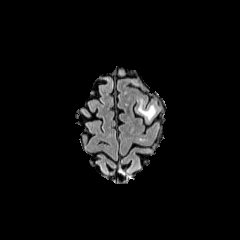
FLAIR magnetic resonance.
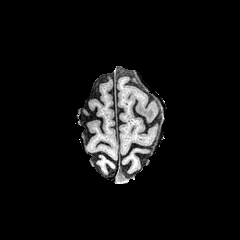
T1-weighted MR.
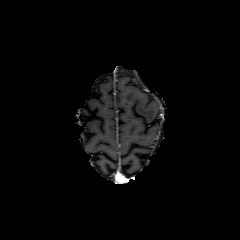
Post-contrast T1-weighted MRI of the same slice.
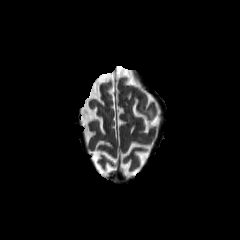
T2-weighted MR.
Image size 240x240
{
  "peritumoral_edema": [
    "138 100 156 120"
  ]
}